Brain, 240x240, Image covers 240 mm x 240 mm
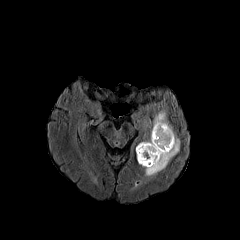
FLAIR magnetic resonance.
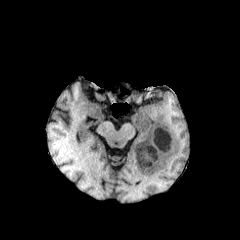
T1-weighted magnetic resonance.
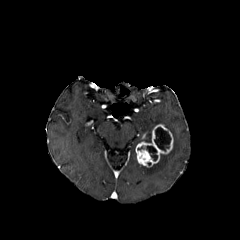
Post-contrast T1-weighted MR.
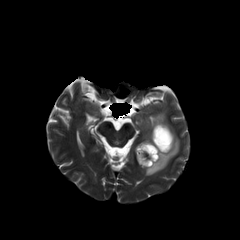
Same slice, T2-weighted magnetic resonance.
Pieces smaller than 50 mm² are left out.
peritumoral edema: bounding box bbox(141, 110, 180, 177)
necrotic tumor core: bounding box bbox(154, 127, 171, 151); bbox(146, 145, 157, 161)
enhancing tumor: bounding box bbox(135, 124, 173, 167)